Image width 240 mm, 1.00 mm slice spacing. Head.
FLAIR MR.
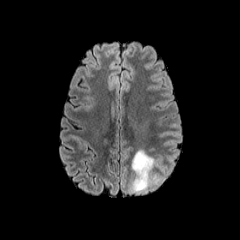
T1-weighted MR.
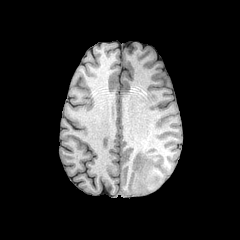
Post-contrast T1-weighted MR.
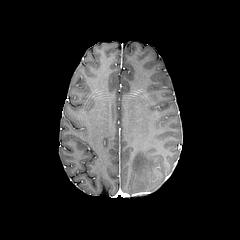
T2-weighted MR.
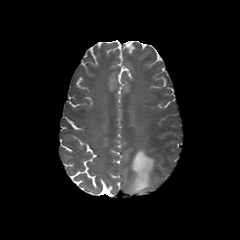
peritumoral_edema:
  - box=[131, 150, 164, 192]